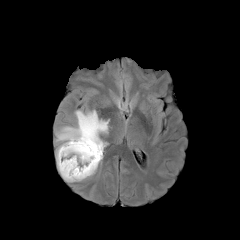
FLAIR magnetic resonance.
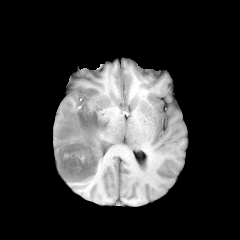
T1-weighted magnetic resonance.
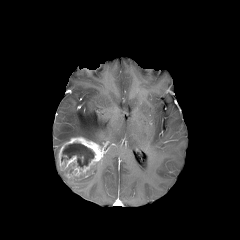
Post-contrast T1-weighted MRI of the same slice.
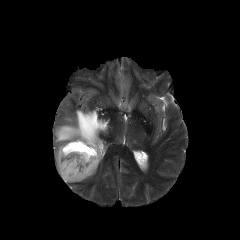
T2-weighted MR image.
Axial view; 240x240 px
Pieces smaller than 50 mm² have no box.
The largest necrotic tumor core region appears at (left=61, top=143, right=94, bottom=167). 2 peritumoral edema regions are bounded by (left=55, top=110, right=109, bottom=162), (left=59, top=160, right=101, bottom=182). The largest enhancing tumor region lies within (left=57, top=137, right=103, bottom=179).